FLAIR MR.
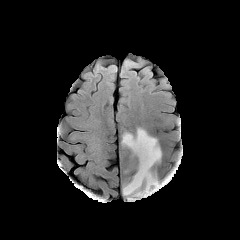
T1-weighted MR image.
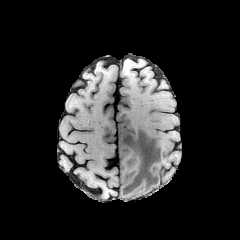
Post-contrast T1-weighted MR image.
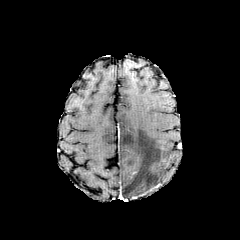
T2-weighted magnetic resonance.
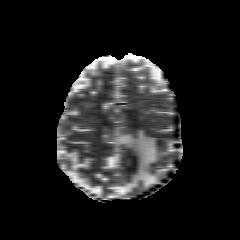
240x240 | Brain | Axial view
Findings:
• peritumoral edema: 121, 128, 161, 199